Head. Slice 104 of 155. Image width 240 mm, 1.00 mm slice spacing. 240x240.
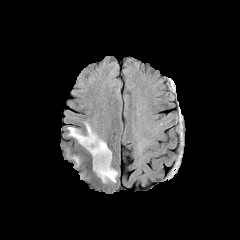
FLAIR MR.
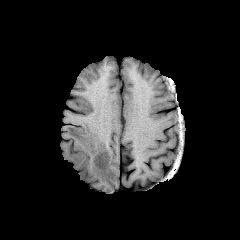
T1-weighted MRI.
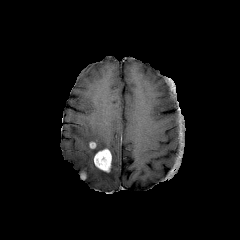
Post-contrast T1-weighted MRI of the same slice.
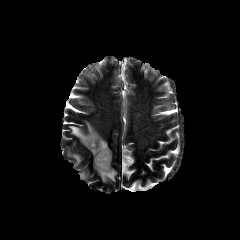
T2-weighted MR image of the same slice.
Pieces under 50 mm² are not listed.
The largest enhancing tumor region is at region(94, 148, 111, 172). The 2 largest peritumoral edema regions are located at region(68, 121, 117, 182); region(72, 155, 80, 167).